FLAIR magnetic resonance.
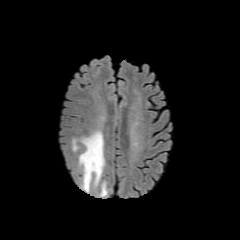
T1-weighted MRI.
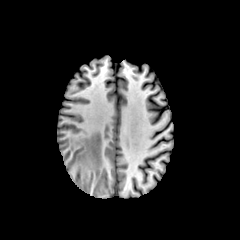
Post-contrast T1-weighted magnetic resonance.
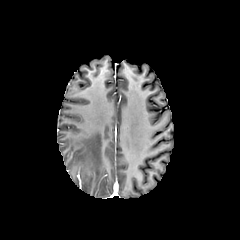
T2-weighted MR image.
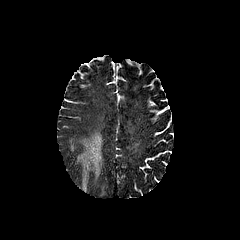
240x240 px
<segmentation>
  <peritumoral_edema>l=72, t=139, r=77, b=150; l=100, t=183, r=106, b=196; l=78, t=130, r=104, b=191</peritumoral_edema>
</segmentation>